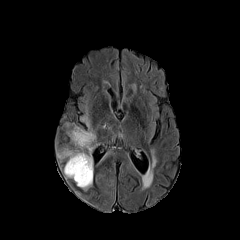
FLAIR MRI.
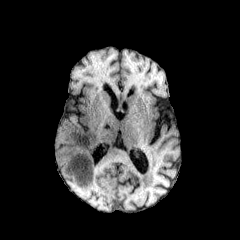
Same slice, T1-weighted MR.
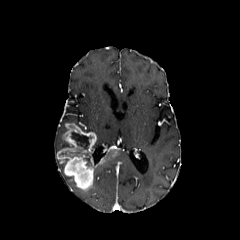
Same slice, post-contrast T1-weighted MR image.
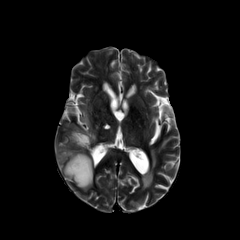
Same slice, T2-weighted magnetic resonance.
Brain. Axial plane. 240x240.
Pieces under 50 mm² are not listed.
<segmentation>
  <enhancing_tumor>l=99, t=149, r=122, b=164; l=57, t=123, r=96, b=191</enhancing_tumor>
  <necrotic_tumor_core>l=84, t=153, r=91, b=166; l=71, t=132, r=91, b=149</necrotic_tumor_core>
  <peritumoral_edema>l=79, t=114, r=93, b=132</peritumoral_edema>
</segmentation>